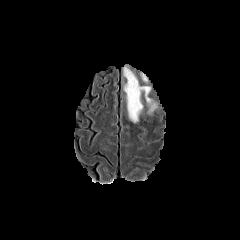
FLAIR MR.
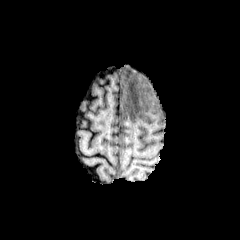
Same slice, T1-weighted MR.
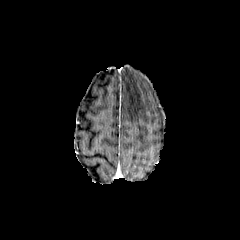
Same slice, post-contrast T1-weighted MR image.
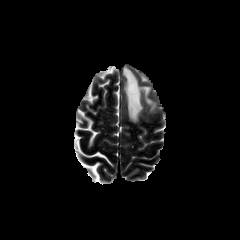
T2-weighted MR image of the same slice.
Brain
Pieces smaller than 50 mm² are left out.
Annotated regions:
* peritumoral edema: 123,67,156,122